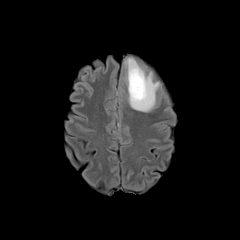
FLAIR MR.
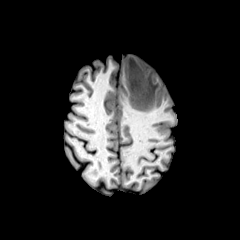
Same slice, T1-weighted MRI.
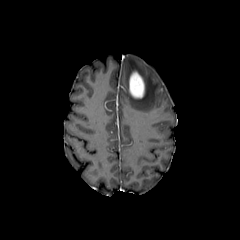
Post-contrast T1-weighted MR.
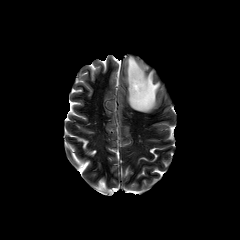
T2-weighted MR image.
Axial view
peritumoral edema = 125, 57, 159, 112
enhancing tumor = 129, 71, 144, 98